240x240, Image width 240 mm, 1.00 mm slice spacing, Head, Axial slice
FLAIR MR.
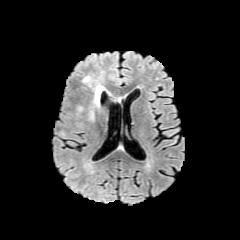
T1-weighted MRI.
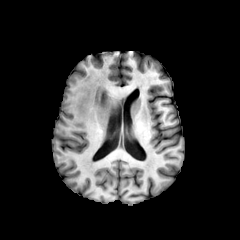
Post-contrast T1-weighted MR image.
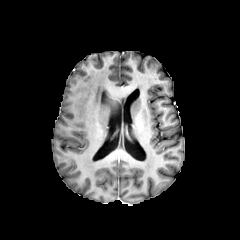
T2-weighted MRI.
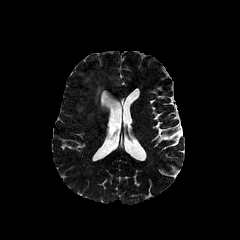
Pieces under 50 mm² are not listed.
peritumoral edema: [x1=94, y1=81, x2=104, y2=108]